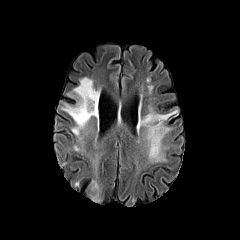
FLAIR MR.
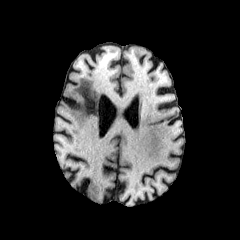
T1-weighted MR image.
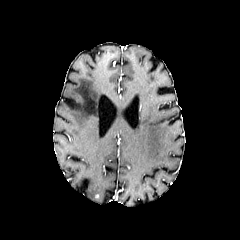
Post-contrast T1-weighted MR.
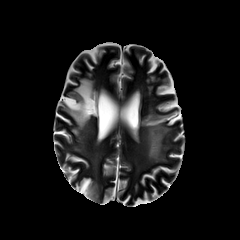
T2-weighted magnetic resonance.
Head.
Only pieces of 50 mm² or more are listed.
The 3 largest peritumoral edema regions are bounded by (61,77,99,135), (86,179,102,203), (140,107,178,163).